FLAIR MR.
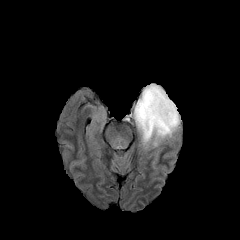
T1-weighted MR.
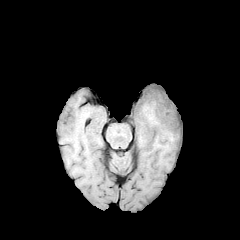
Post-contrast T1-weighted MR image.
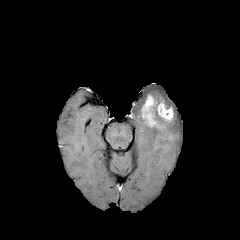
T2-weighted MRI.
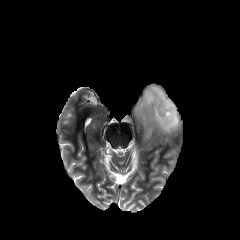
Axial plane, 240x240 px, Head
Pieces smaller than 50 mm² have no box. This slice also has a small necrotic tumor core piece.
Segmented structures:
- enhancing tumor: (left=141, top=94, right=174, bottom=127)
- peritumoral edema: (left=133, top=84, right=180, bottom=145)